FLAIR MR image.
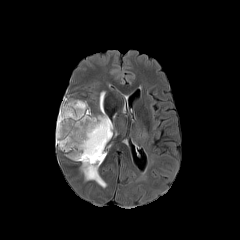
T1-weighted MR.
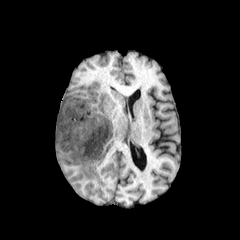
Post-contrast T1-weighted MR.
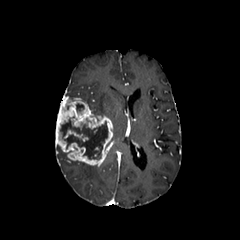
T2-weighted MR image.
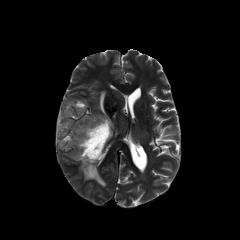
Axial view
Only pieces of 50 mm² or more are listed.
peritumoral edema = 99:91:106:115, 80:162:106:187
necrotic tumor core = 60:119:107:159, 76:104:83:111
enhancing tumor = 56:91:113:166